FLAIR MR image.
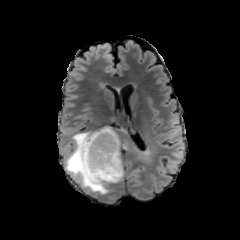
T1-weighted MRI.
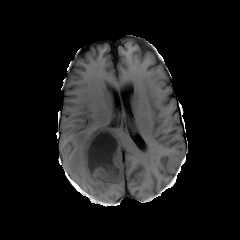
Post-contrast T1-weighted magnetic resonance.
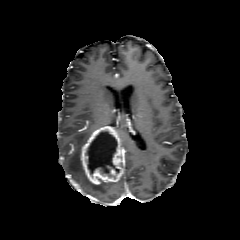
T2-weighted MRI.
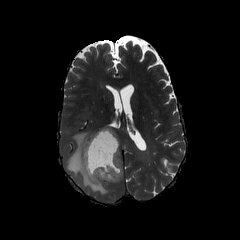
Axial view
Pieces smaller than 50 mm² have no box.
peritumoral edema: x1=65 y1=131 x2=109 y2=194
necrotic tumor core: x1=85 y1=132 x2=119 y2=175
enhancing tumor: x1=80 y1=126 x2=123 y2=185